Slice 73 of 155, Head
FLAIR MR image.
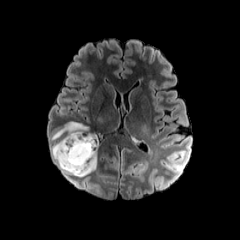
T1-weighted MRI.
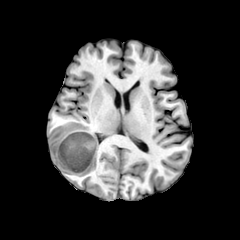
Post-contrast T1-weighted MR image.
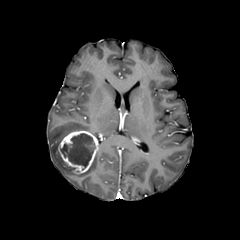
T2-weighted MRI.
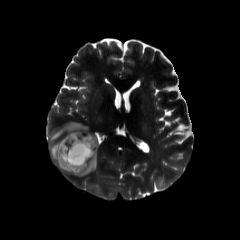
enhancing tumor — (left=58, top=131, right=98, bottom=173)
necrotic tumor core — (left=60, top=133, right=95, bottom=168)
peritumoral edema — (left=50, top=121, right=88, bottom=141), (left=50, top=138, right=97, bottom=176)